240x240 | Axial slice
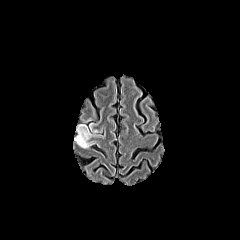
FLAIR MR.
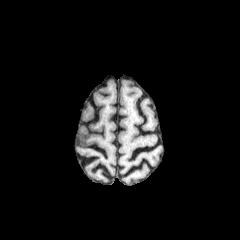
Same slice, T1-weighted magnetic resonance.
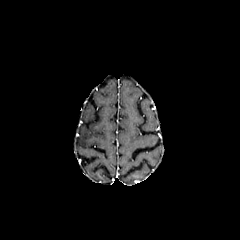
Post-contrast T1-weighted MR image.
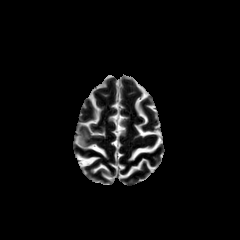
Same slice, T2-weighted MRI.
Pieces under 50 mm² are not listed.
Segmented structures:
* peritumoral edema: <box>77,125,94,148</box>